FLAIR magnetic resonance.
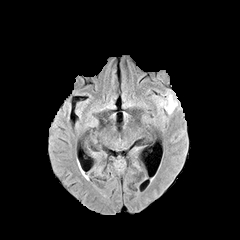
T1-weighted MR image.
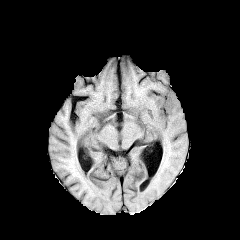
Post-contrast T1-weighted magnetic resonance.
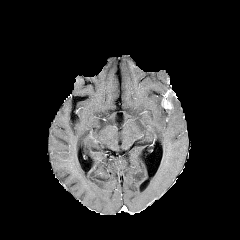
T2-weighted MRI.
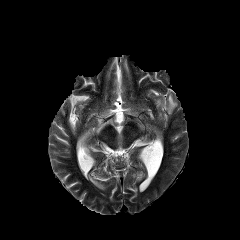
Axial plane
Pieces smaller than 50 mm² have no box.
• peritumoral edema: x1=166 y1=96 x2=177 y2=114
• enhancing tumor: x1=161 y1=89 x2=174 y2=109